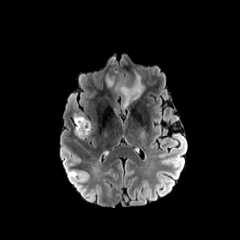
FLAIR MR.
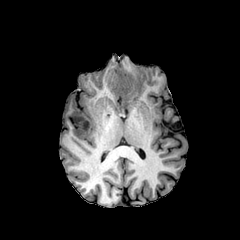
T1-weighted MR.
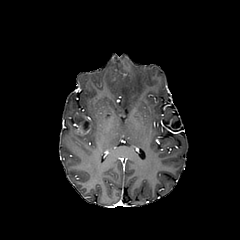
Post-contrast T1-weighted MRI of the same slice.
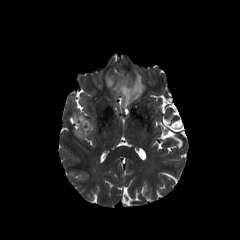
T2-weighted magnetic resonance.
Axial view
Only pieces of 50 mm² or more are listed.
The enhancing tumor appears at (x1=74, y1=113, x2=90, y2=135). The 2 largest peritumoral edema regions are located at (x1=106, y1=76, x2=115, y2=86), (x1=115, y1=73, x2=144, y2=108). The necrotic tumor core appears at (x1=82, y1=120, x2=89, y2=130).